FLAIR MR.
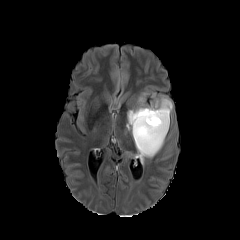
T1-weighted MRI.
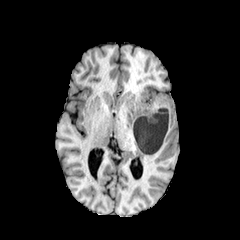
Post-contrast T1-weighted MR image.
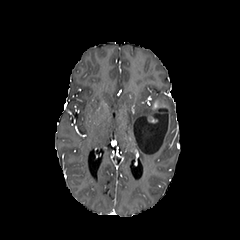
T2-weighted magnetic resonance.
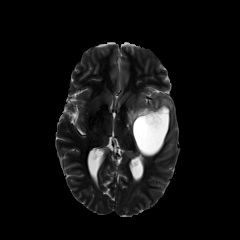
240x240
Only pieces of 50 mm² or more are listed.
{
  "enhancing_tumor": [
    "148, 116, 157, 122"
  ],
  "peritumoral_edema": [
    "126, 92, 172, 164"
  ]
}